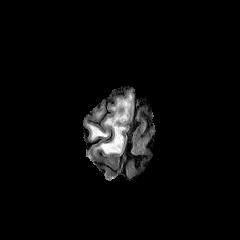
FLAIR magnetic resonance.
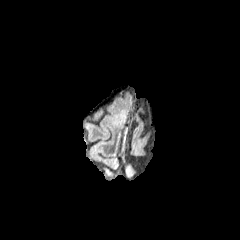
T1-weighted MR image.
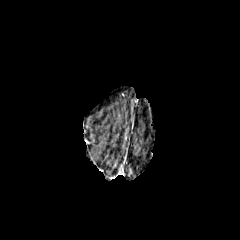
Post-contrast T1-weighted MR of the same slice.
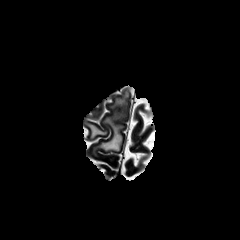
T2-weighted MR image.
Axial slice
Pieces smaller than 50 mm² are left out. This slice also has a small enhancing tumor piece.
peritumoral_edema:
  - (89, 125, 107, 138)
  - (95, 99, 129, 153)